FLAIR MR.
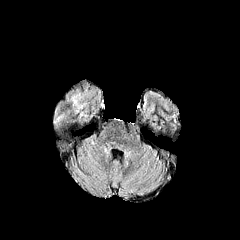
T1-weighted magnetic resonance.
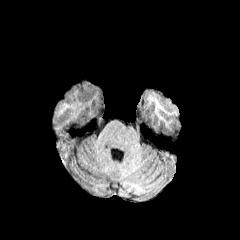
Post-contrast T1-weighted MR.
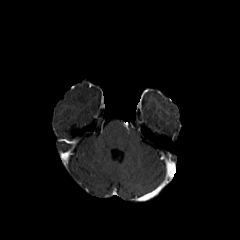
T2-weighted MRI.
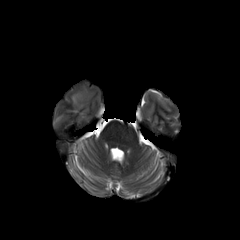
Head
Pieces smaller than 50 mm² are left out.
• peritumoral edema: x1=72 y1=93 x2=84 y2=112